FLAIR MRI.
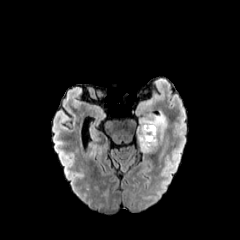
T1-weighted magnetic resonance.
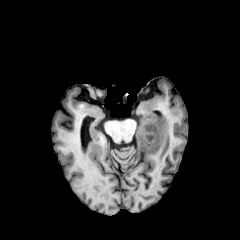
Post-contrast T1-weighted MR image.
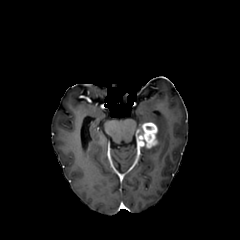
T2-weighted MRI.
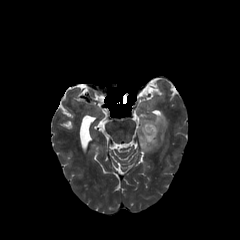
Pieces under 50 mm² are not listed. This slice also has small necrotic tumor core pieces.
The enhancing tumor is at left=136, top=122, right=157, bottom=148. The peritumoral edema appears at left=137, top=113, right=167, bottom=152.